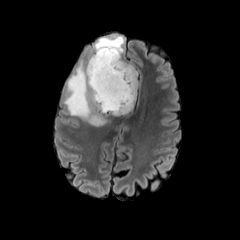
FLAIR magnetic resonance.
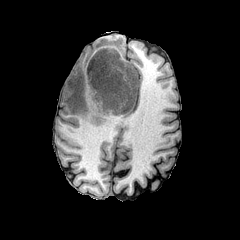
T1-weighted magnetic resonance.
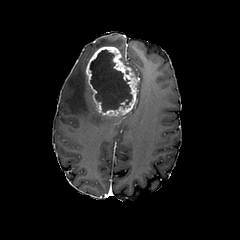
Same slice, post-contrast T1-weighted MR image.
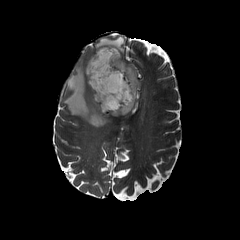
T2-weighted magnetic resonance.
Axial slice
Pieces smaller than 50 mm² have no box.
necrotic tumor core: bounding box l=89, t=50, r=132, b=112
enhancing tumor: bounding box l=85, t=46, r=138, b=116
peritumoral edema: bounding box l=121, t=57, r=137, b=78; l=63, t=36, r=124, b=126